FLAIR MR image.
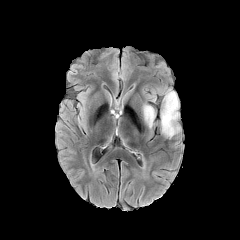
T1-weighted MR.
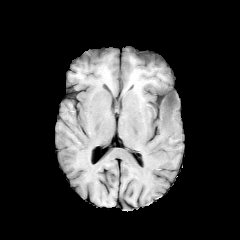
Post-contrast T1-weighted MR image.
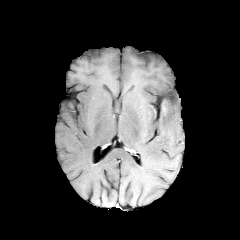
T2-weighted MR image.
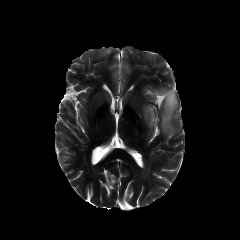
Brain
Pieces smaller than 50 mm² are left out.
The necrotic tumor core appears at (x1=165, y1=92, x2=174, y2=106). The 2 largest peritumoral edema regions appear at (x1=160, y1=89, x2=180, y2=137), (x1=143, y1=104, x2=155, y2=128).